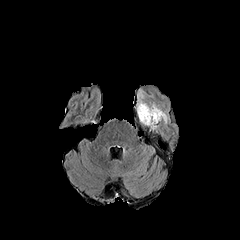
FLAIR MR.
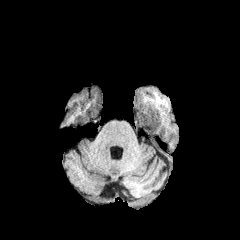
T1-weighted MR image.
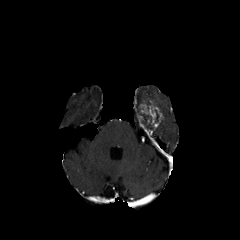
Same slice, post-contrast T1-weighted MR.
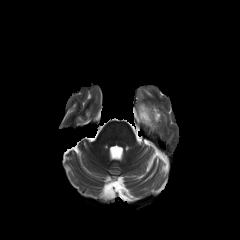
T2-weighted MR.
Image size 240x240 | Axial view
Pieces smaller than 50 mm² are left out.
- enhancing tumor: box(139, 104, 163, 128)
- necrotic tumor core: box(139, 112, 152, 128)
- peritumoral edema: box(137, 91, 143, 112); box(160, 110, 167, 123)